FLAIR magnetic resonance.
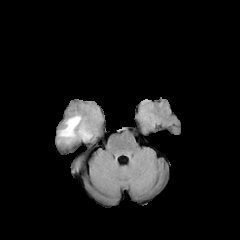
T1-weighted MRI.
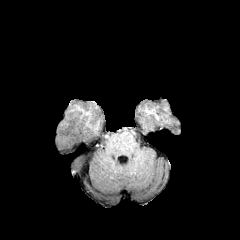
Post-contrast T1-weighted MRI.
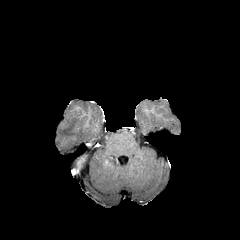
T2-weighted MRI.
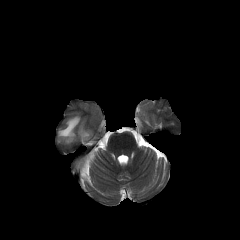
Brain. 240x240. Axial view.
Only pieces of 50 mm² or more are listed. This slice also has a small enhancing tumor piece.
peritumoral edema: l=58, t=115, r=92, b=143